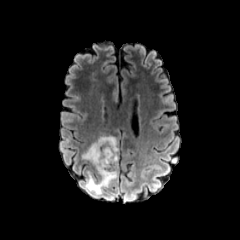
FLAIR magnetic resonance.
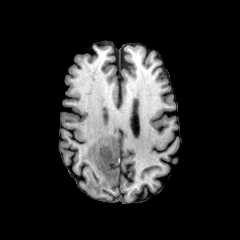
T1-weighted MR.
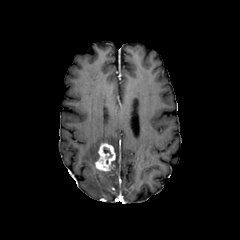
Post-contrast T1-weighted MR.
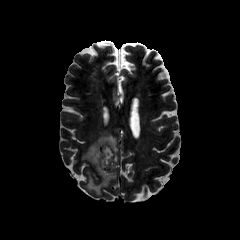
T2-weighted MRI of the same slice.
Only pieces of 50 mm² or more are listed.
The peritumoral edema appears at 82 135 118 195. The enhancing tumor is located at 95 143 115 172. The largest necrotic tumor core region is at 103 147 112 157.